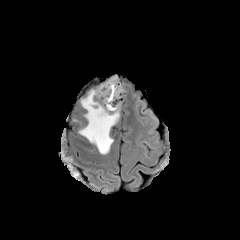
FLAIR MR image.
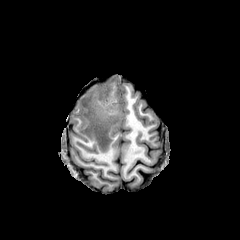
Same slice, T1-weighted MR image.
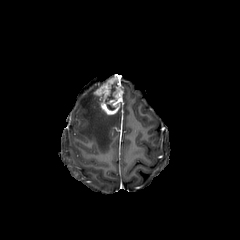
Post-contrast T1-weighted magnetic resonance of the same slice.
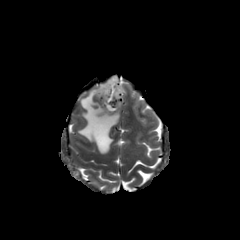
T2-weighted magnetic resonance.
Axial view. Image size 240x240.
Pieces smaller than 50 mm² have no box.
necrotic_tumor_core:
  - [105, 82, 116, 102]
peritumoral_edema:
  - [79, 89, 119, 154]
enhancing_tumor:
  - [94, 76, 123, 115]